FLAIR MR.
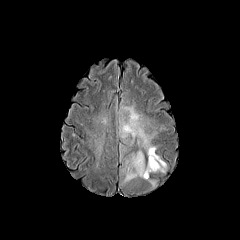
T1-weighted magnetic resonance.
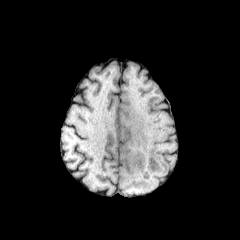
Post-contrast T1-weighted MR.
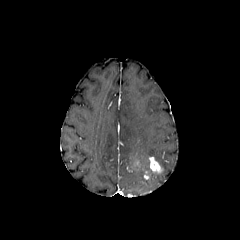
T2-weighted MRI.
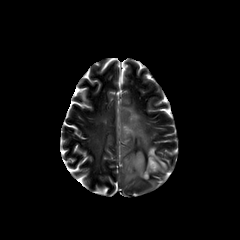
Head
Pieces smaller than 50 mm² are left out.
Segmented structures:
* peritumoral edema: rect(94, 110, 110, 127); rect(118, 94, 169, 185); rect(85, 130, 105, 161); rect(147, 177, 158, 189); rect(119, 143, 126, 159)
* enhancing tumor: rect(131, 157, 141, 170); rect(149, 157, 163, 172)